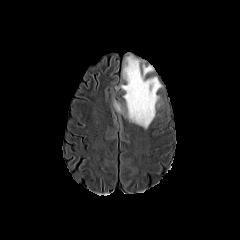
FLAIR MR.
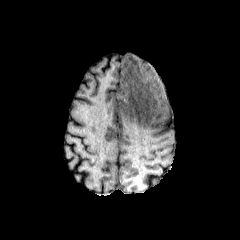
T1-weighted MRI of the same slice.
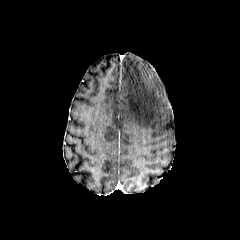
Post-contrast T1-weighted MRI of the same slice.
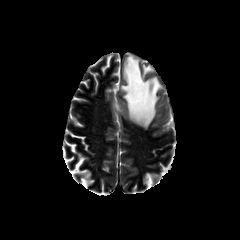
Same slice, T2-weighted MRI.
240x240 px, Brain
peritumoral_edema:
  - [113,100,123,113]
  - [121,55,161,128]